FLAIR magnetic resonance.
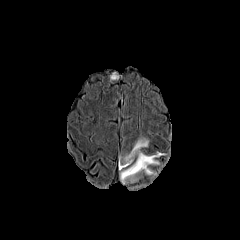
T1-weighted MR.
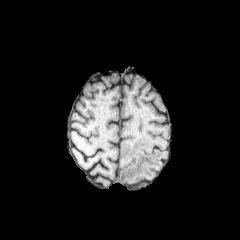
Post-contrast T1-weighted MR.
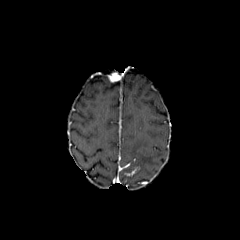
T2-weighted magnetic resonance.
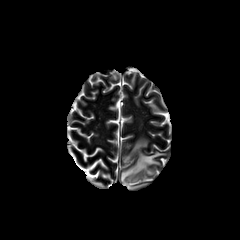
Axial plane
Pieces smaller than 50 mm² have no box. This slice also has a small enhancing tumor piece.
{"peritumoral_edema": ["120, 138, 164, 184"]}